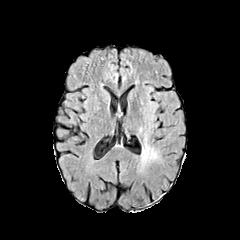
FLAIR MRI.
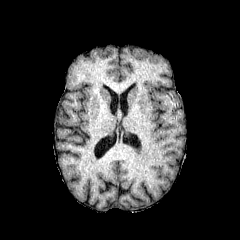
T1-weighted MR.
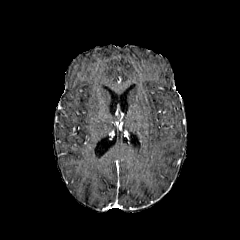
Post-contrast T1-weighted MR.
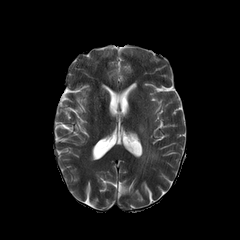
Same slice, T2-weighted MR image.
Axial view
The peritumoral edema is at (left=141, top=144, right=157, bottom=163).